FLAIR MR image.
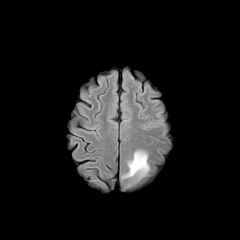
T1-weighted MRI.
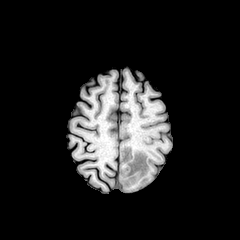
Post-contrast T1-weighted magnetic resonance.
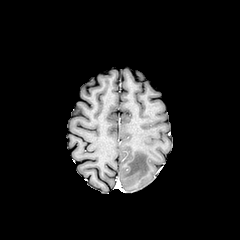
T2-weighted magnetic resonance.
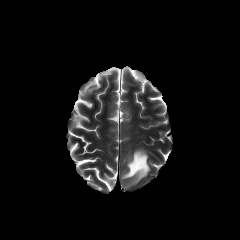
Axial slice | Brain | 240x240
<segmentation>
  <peritumoral_edema>122 150 149 180</peritumoral_edema>
</segmentation>